FLAIR magnetic resonance.
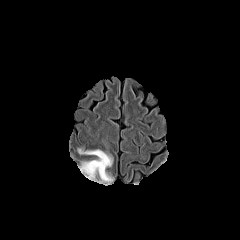
T1-weighted MRI.
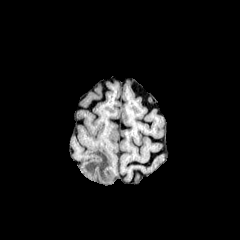
Post-contrast T1-weighted MRI.
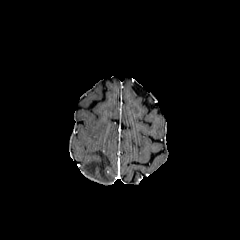
T2-weighted MR.
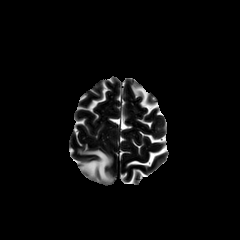
Image size 240x240. Head.
The peritumoral edema appears at [x1=78, y1=149, x2=113, y2=182].